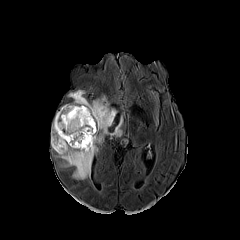
FLAIR MR.
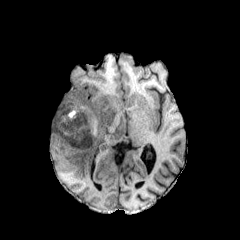
T1-weighted MR.
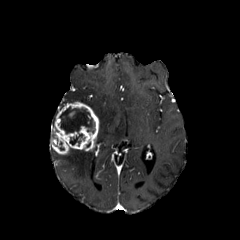
Post-contrast T1-weighted MR of the same slice.
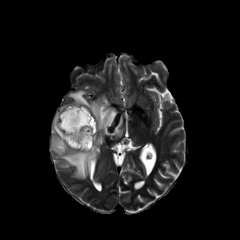
T2-weighted MRI of the same slice.
Axial slice.
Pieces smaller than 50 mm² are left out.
necrotic tumor core: bbox(59, 106, 94, 133); bbox(70, 134, 82, 145) | peritumoral edema: bbox(68, 90, 122, 142); bbox(56, 148, 95, 179) | enhancing tumor: bbox(50, 101, 99, 154)